FLAIR MR.
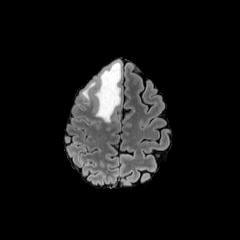
T1-weighted MR image.
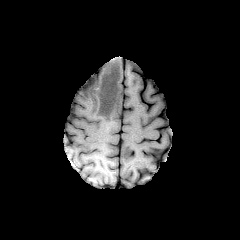
Post-contrast T1-weighted MR.
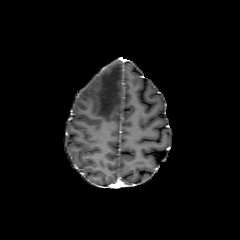
T2-weighted MR.
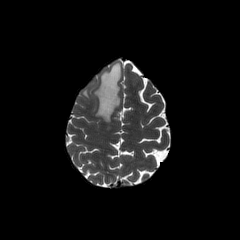
240x240
peritumoral edema = l=93, t=61, r=121, b=122; l=81, t=81, r=96, b=104